FLAIR MR.
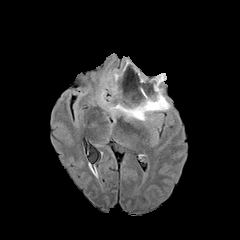
T1-weighted MR image.
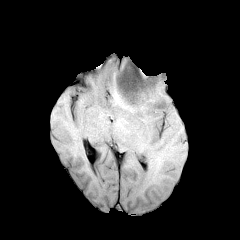
Post-contrast T1-weighted MRI.
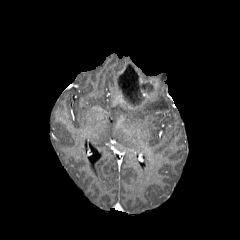
T2-weighted MRI.
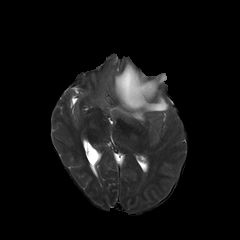
Head.
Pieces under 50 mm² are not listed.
necrotic tumor core = bbox(117, 63, 154, 106)
peritumoral edema = bbox(156, 73, 166, 84); bbox(107, 69, 119, 94); bbox(98, 87, 169, 121)
enhancing tumor = bbox(115, 62, 158, 109)